Brain; 240x240; Image width 240 mm, 1.00 mm slice spacing
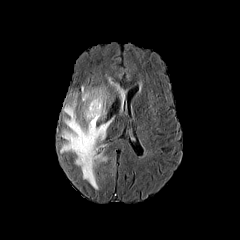
FLAIR magnetic resonance.
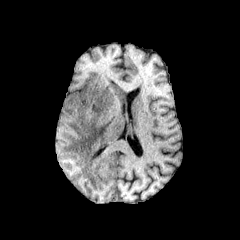
T1-weighted MRI.
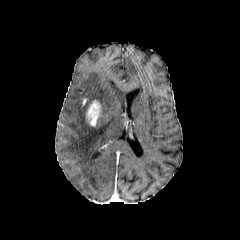
Post-contrast T1-weighted magnetic resonance of the same slice.
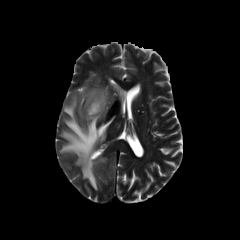
T2-weighted MR.
enhancing tumor: bbox(86, 100, 101, 126)
peritumoral edema: bbox(108, 77, 126, 108); bbox(60, 85, 113, 189)